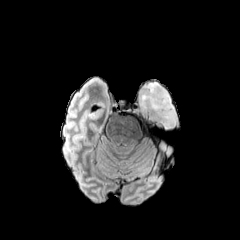
FLAIR MR image.
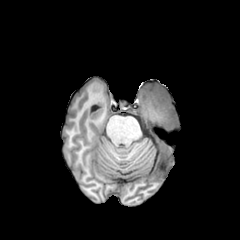
Same slice, T1-weighted magnetic resonance.
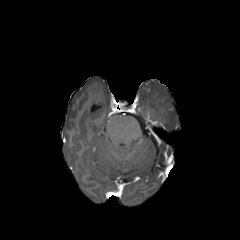
Post-contrast T1-weighted MRI.
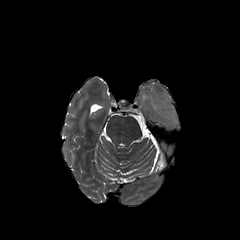
Same slice, T2-weighted magnetic resonance.
240x240 px.
The peritumoral edema is at <box>139,82,177,130</box>.